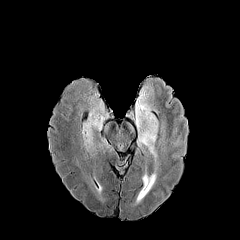
FLAIR magnetic resonance.
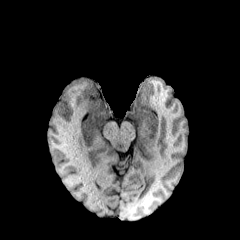
T1-weighted magnetic resonance.
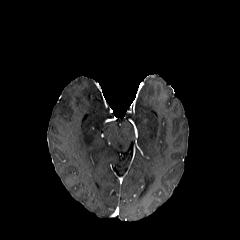
Same slice, post-contrast T1-weighted magnetic resonance.
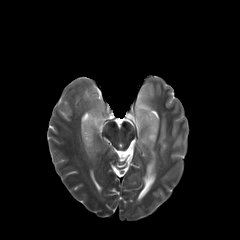
T2-weighted MR.
peritumoral edema at (135, 87, 157, 156), (82, 102, 108, 148)